Axial plane. Image covers 240 mm x 240 mm.
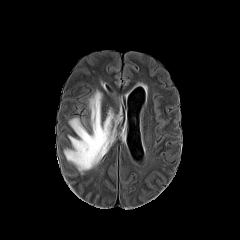
FLAIR magnetic resonance.
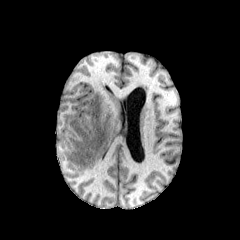
T1-weighted MR image.
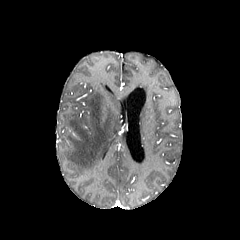
Post-contrast T1-weighted MR.
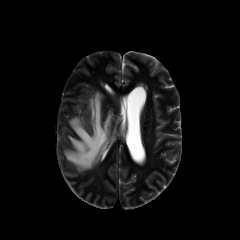
T2-weighted MR.
{
  "peritumoral_edema": [
    "64:90:121:174"
  ]
}